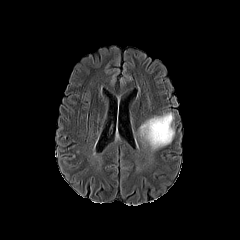
FLAIR magnetic resonance.
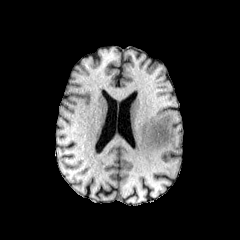
T1-weighted MRI.
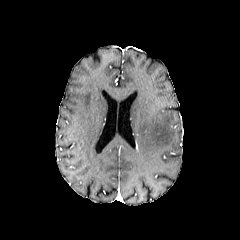
Post-contrast T1-weighted MR.
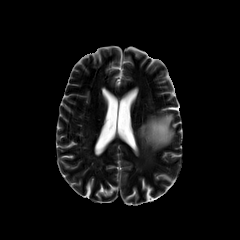
T2-weighted MRI.
Axial slice, Brain
The peritumoral edema is located at (x1=139, y1=113, x2=174, y2=150).